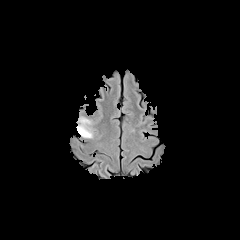
FLAIR MRI.
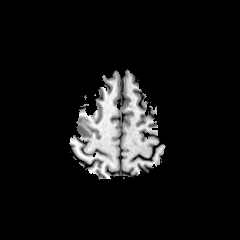
T1-weighted MR image.
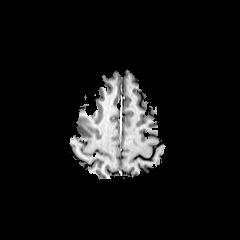
Post-contrast T1-weighted MRI.
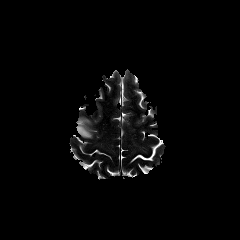
T2-weighted MR.
Brain; Axial view
peritumoral edema: (left=76, top=117, right=92, bottom=138)